Image width 240 mm | Slice 32/155 | Axial plane
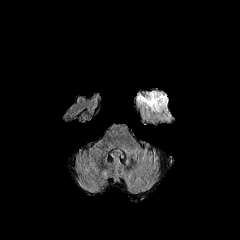
FLAIR magnetic resonance.
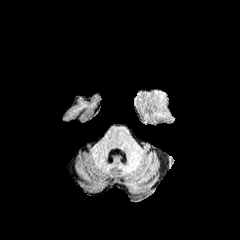
T1-weighted MR image.
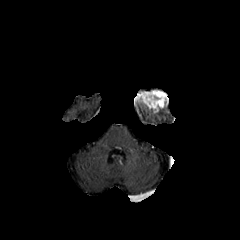
Same slice, post-contrast T1-weighted MRI.
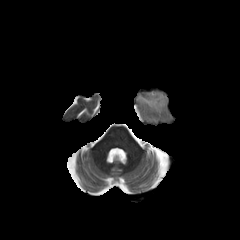
T2-weighted magnetic resonance.
The peritumoral edema lies within box=[137, 103, 170, 120]. The enhancing tumor appears at box=[135, 90, 168, 114].